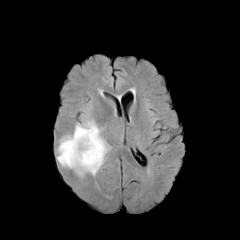
FLAIR MR image.
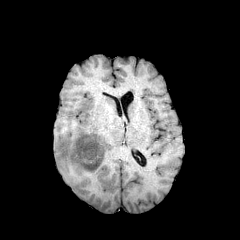
Same slice, T1-weighted MR.
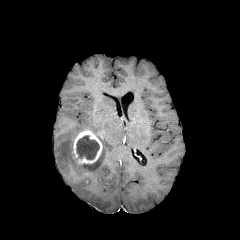
Post-contrast T1-weighted magnetic resonance.
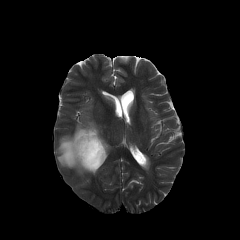
T2-weighted MR of the same slice.
Axial plane
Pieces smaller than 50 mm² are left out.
The peritumoral edema is located at (57, 120, 109, 176). The largest enhancing tumor region lies within (68, 130, 102, 166). The necrotic tumor core is located at (77, 135, 99, 159).